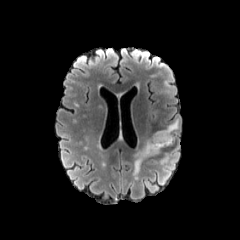
FLAIR MR image.
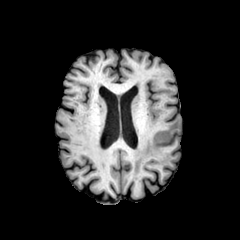
Same slice, T1-weighted magnetic resonance.
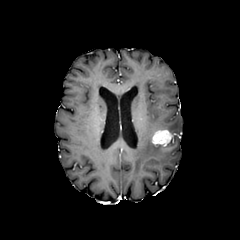
Same slice, post-contrast T1-weighted MR image.
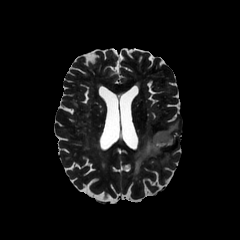
T2-weighted MR image of the same slice.
Axial view. Head.
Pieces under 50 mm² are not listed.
Annotated regions:
- peritumoral edema: (132, 118, 179, 176)
- enhancing tumor: (152, 130, 173, 146)